FLAIR MR.
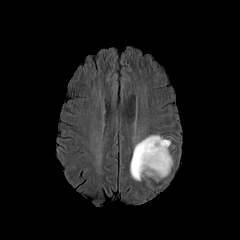
T1-weighted magnetic resonance.
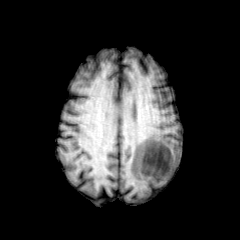
Post-contrast T1-weighted magnetic resonance.
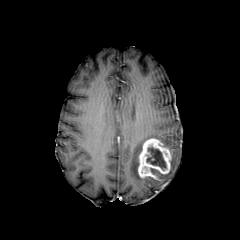
T2-weighted magnetic resonance.
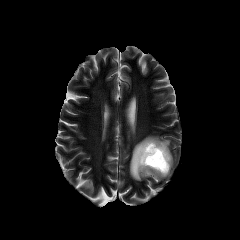
Brain. 240x240. Axial slice.
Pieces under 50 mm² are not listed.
The enhancing tumor appears at <bbox>138, 138, 171, 179</bbox>. The largest necrotic tumor core region lies within <bbox>146, 147, 166, 169</bbox>. The largest peritumoral edema region is located at <bbox>130, 135, 170, 180</bbox>.